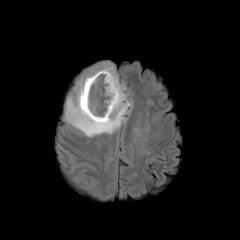
FLAIR MR image.
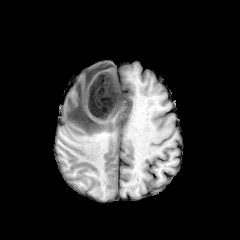
T1-weighted MR image.
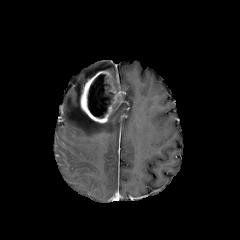
Post-contrast T1-weighted MRI.
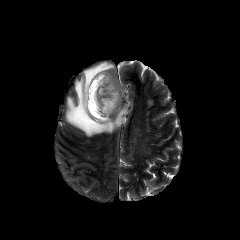
T2-weighted magnetic resonance.
Axial slice. Brain.
The necrotic tumor core is at [88, 74, 108, 118]. The enhancing tumor lies within [80, 70, 124, 122]. The peritumoral edema appears at [64, 62, 131, 137].